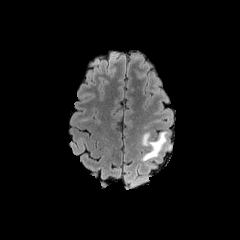
FLAIR MR.
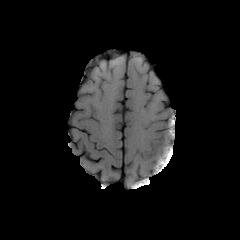
T1-weighted MR.
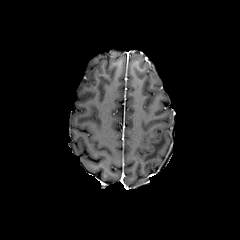
Post-contrast T1-weighted MR.
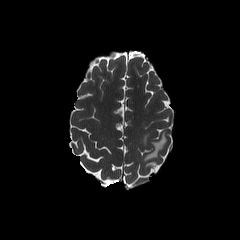
T2-weighted MR.
Brain, Axial view
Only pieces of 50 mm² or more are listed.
The largest peritumoral edema region lies within x1=142 y1=132 x2=166 y2=161.